FLAIR MR image.
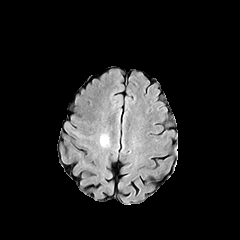
T1-weighted MRI.
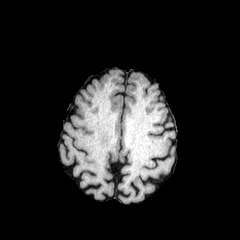
Post-contrast T1-weighted magnetic resonance.
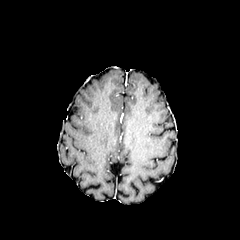
T2-weighted magnetic resonance.
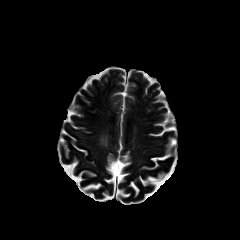
Axial slice
{
  "peritumoral_edema": [
    "(99,134,109,147)"
  ]
}